240x240 px
FLAIR magnetic resonance.
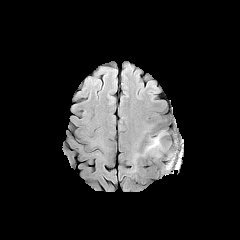
T1-weighted MRI.
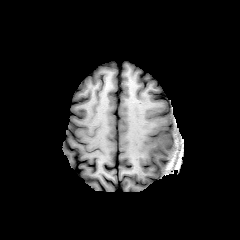
Post-contrast T1-weighted MR image.
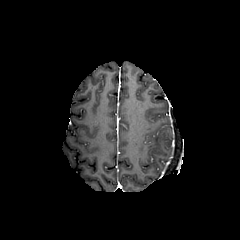
T2-weighted MR.
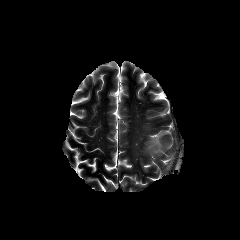
peritumoral edema = 146 131 165 155